FLAIR MRI.
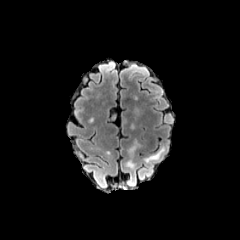
T1-weighted MR.
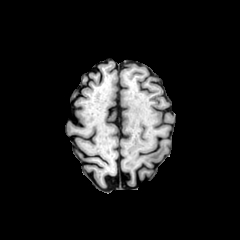
Post-contrast T1-weighted MR image.
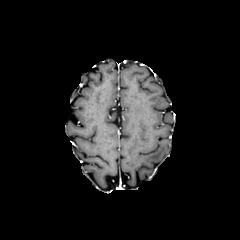
T2-weighted MR image.
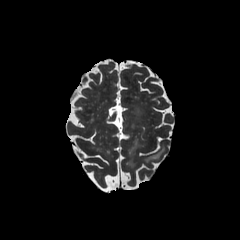
Axial plane. 240x240. Brain.
{"peritumoral_edema": ["125:146:140:167", "144:146:165:162"]}